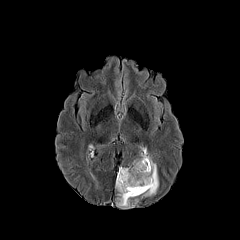
FLAIR MR image.
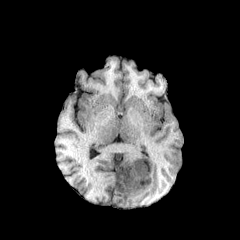
T1-weighted magnetic resonance of the same slice.
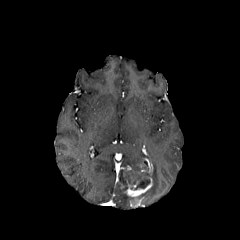
Post-contrast T1-weighted magnetic resonance.
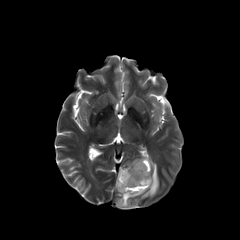
T2-weighted MRI.
Brain
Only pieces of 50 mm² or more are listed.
Annotated regions:
• enhancing tumor: bbox=[119, 158, 152, 206]
• necrotic tumor core: bbox=[134, 179, 150, 189]
• peritumoral edema: bbox=[115, 169, 141, 208]; bbox=[132, 153, 158, 197]